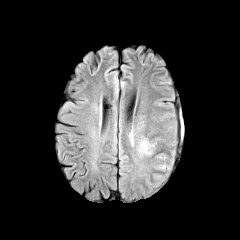
FLAIR MR.
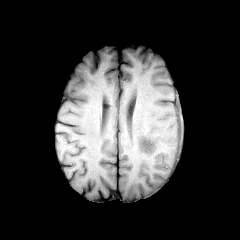
Same slice, T1-weighted magnetic resonance.
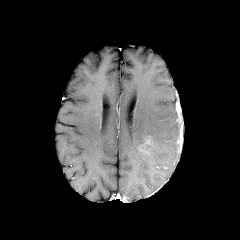
Post-contrast T1-weighted MR image.
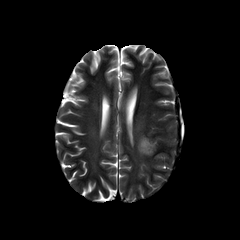
T2-weighted MR image.
240x240. Brain. Axial view.
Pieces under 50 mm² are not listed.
enhancing_tumor:
  - 140 139 152 153
peritumoral_edema:
  - 155 164 171 171
  - 129 132 133 145
  - 137 137 156 155